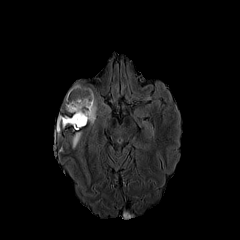
FLAIR MR.
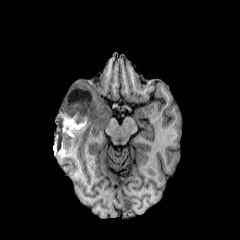
T1-weighted MRI.
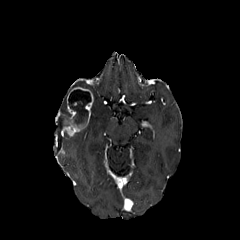
Same slice, post-contrast T1-weighted MR image.
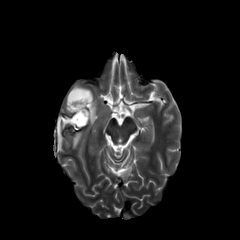
Same slice, T2-weighted MR.
Axial plane. Brain.
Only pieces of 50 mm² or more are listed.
The 2 largest peritumoral edema regions are bounded by (86,88,98,125), (71,131,82,148). The necrotic tumor core appears at (58,89,91,126). The largest enhancing tumor region is at (63,87,93,135).